Head. Image size 240x240.
FLAIR MRI.
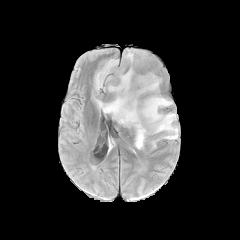
T1-weighted magnetic resonance.
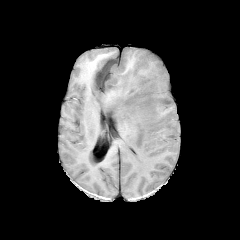
Post-contrast T1-weighted magnetic resonance.
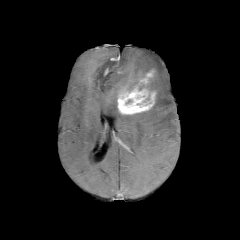
T2-weighted magnetic resonance.
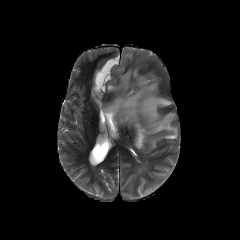
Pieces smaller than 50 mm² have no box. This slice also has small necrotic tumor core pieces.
peritumoral edema: region(93, 47, 178, 149)
enhancing tumor: region(117, 68, 157, 114)